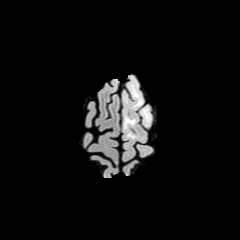
FLAIR MR image.
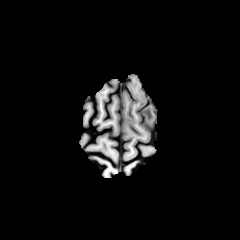
T1-weighted magnetic resonance of the same slice.
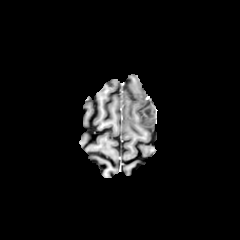
Post-contrast T1-weighted magnetic resonance.
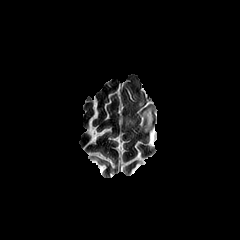
Same slice, T2-weighted MRI.
Brain, Axial plane
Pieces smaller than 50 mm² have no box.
peritumoral edema: box=[141, 107, 151, 125]; box=[124, 117, 135, 127]; box=[134, 92, 142, 106]